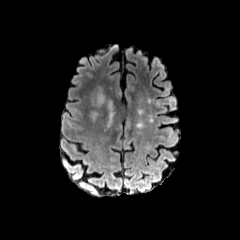
FLAIR MR image.
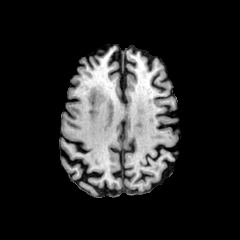
T1-weighted magnetic resonance of the same slice.
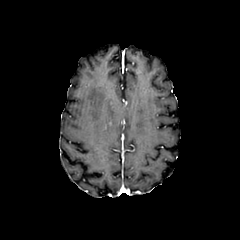
Post-contrast T1-weighted magnetic resonance.
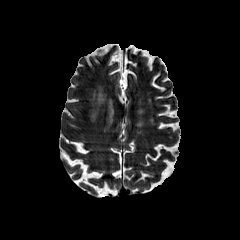
Same slice, T2-weighted MR image.
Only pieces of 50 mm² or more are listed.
peritumoral_edema:
  - bbox=[97, 88, 105, 105]